Axial plane; Head; Slice 48 of 155; Image width 240 mm, 1.00 mm slice spacing; 240x240 px
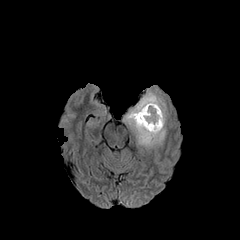
FLAIR MR image.
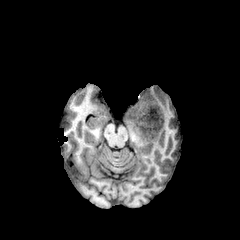
T1-weighted MR image.
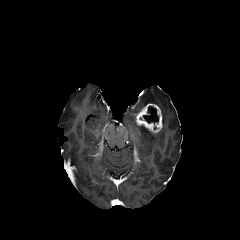
Post-contrast T1-weighted MR of the same slice.
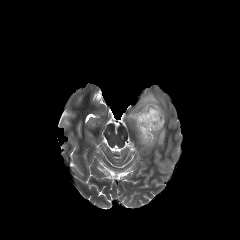
Same slice, T2-weighted MR.
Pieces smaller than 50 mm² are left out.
The peritumoral edema appears at region(125, 91, 165, 146). The largest necrotic tumor core region lies within region(143, 106, 158, 124). The enhancing tumor lies within region(135, 103, 162, 133).